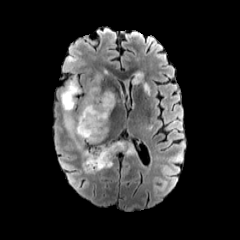
FLAIR MR image.
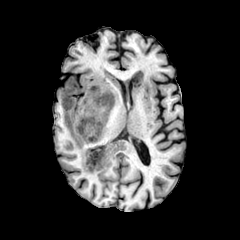
T1-weighted MR.
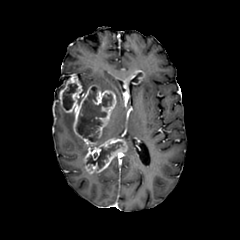
Post-contrast T1-weighted MR of the same slice.
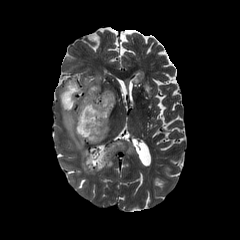
Same slice, T2-weighted MR image.
Image size 240x240 | Brain
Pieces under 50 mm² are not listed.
The 2 largest enhancing tumor regions are bounded by box(59, 75, 116, 145); box(83, 139, 126, 174). The 4 largest necrotic tumor core regions are bounded by box(86, 142, 122, 169); box(76, 86, 112, 141); box(134, 72, 142, 82); box(63, 84, 77, 110). The 5 largest peritumoral edema regions appear at box(91, 74, 101, 85); box(91, 126, 108, 147); box(64, 111, 87, 158); box(140, 80, 149, 92); box(118, 144, 135, 154).